Axial plane
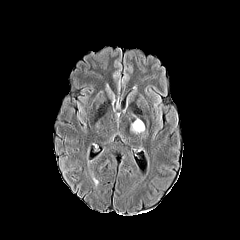
FLAIR MRI.
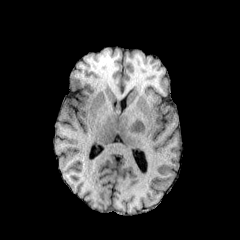
T1-weighted MRI of the same slice.
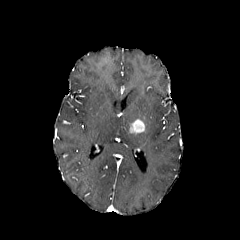
Post-contrast T1-weighted MR image.
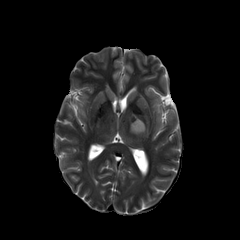
T2-weighted MRI.
The enhancing tumor is at (left=130, top=119, right=144, bottom=133).